FLAIR magnetic resonance.
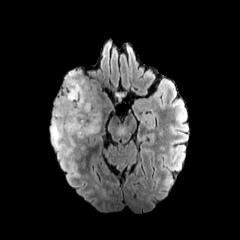
T1-weighted MRI.
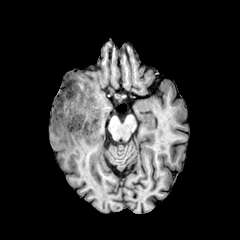
Post-contrast T1-weighted MRI.
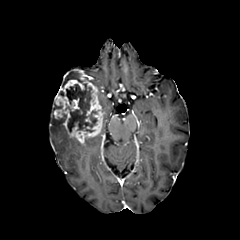
T2-weighted MRI.
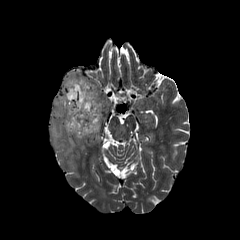
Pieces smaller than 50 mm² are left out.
Segmented structures:
* enhancing tumor: (left=53, top=75, right=102, bottom=143)
* necrotic tumor core: (left=66, top=84, right=96, bottom=132)
* peritumoral edema: (left=64, top=71, right=79, bottom=83), (left=50, top=114, right=75, bottom=155)